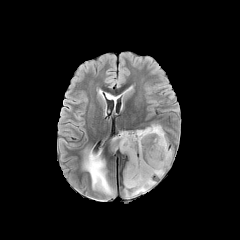
FLAIR MRI.
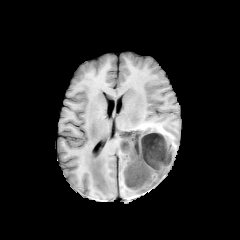
T1-weighted MRI.
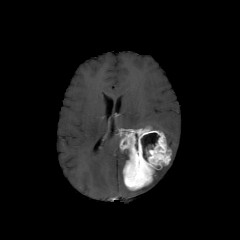
Post-contrast T1-weighted MR.
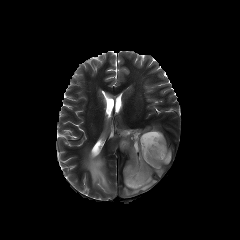
Same slice, T2-weighted MRI.
Axial view, Image size 240x240
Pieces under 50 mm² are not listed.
The 5 largest peritumoral edema regions appear at (left=124, top=179, right=155, bottom=197), (left=154, top=166, right=165, bottom=177), (left=83, top=150, right=114, bottom=194), (left=109, top=136, right=120, bottom=153), (left=150, top=124, right=163, bottom=132). The enhancing tumor lies within (left=119, top=127, right=171, bottom=190). The largest necrotic tumor core region lies within (left=141, top=133, right=159, bottom=160).